Brain. Axial plane.
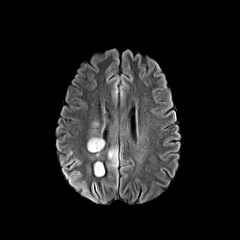
FLAIR MR.
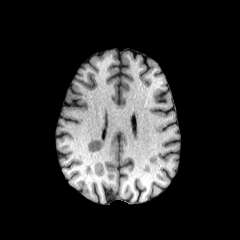
T1-weighted MR.
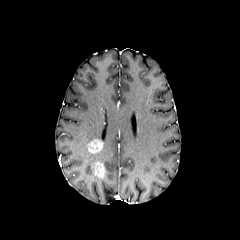
Post-contrast T1-weighted MRI.
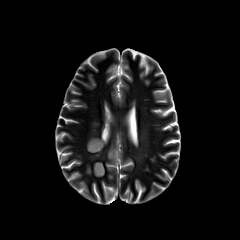
Same slice, T2-weighted MRI.
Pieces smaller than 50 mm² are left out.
peritumoral_edema:
  - box(108, 149, 117, 166)
enhancing_tumor:
  - box(87, 139, 103, 152)
  - box(94, 162, 104, 176)